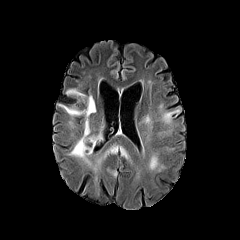
FLAIR magnetic resonance.
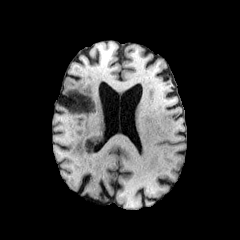
T1-weighted magnetic resonance.
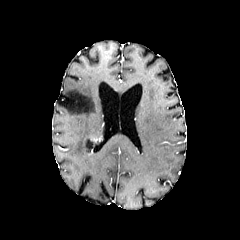
Same slice, post-contrast T1-weighted MR image.
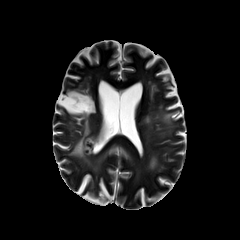
Same slice, T2-weighted MR.
Image size 240x240; Head; Axial view
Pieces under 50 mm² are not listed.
Findings:
* necrotic tumor core: <box>86,139,93,153</box>
* peritumoral edema: <box>148,155,165,171</box>, <box>57,88,103,164</box>, <box>142,115,152,127</box>, <box>96,143,132,164</box>, <box>107,167,117,177</box>, <box>161,109,179,122</box>